Slice index 67. Brain.
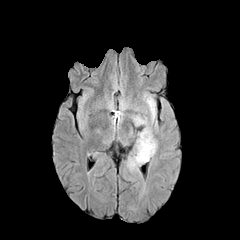
FLAIR MR image.
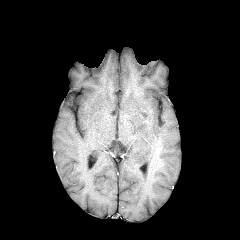
Same slice, T1-weighted MRI.
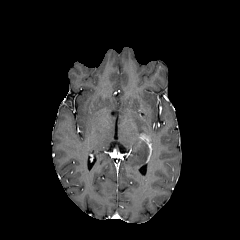
Same slice, post-contrast T1-weighted MR image.
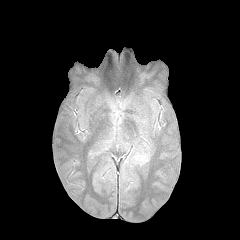
T2-weighted MRI.
Findings:
- peritumoral edema: <bbox>147, 99, 155, 119</bbox>, <bbox>130, 126, 156, 166</bbox>, <bbox>133, 116, 146, 125</bbox>